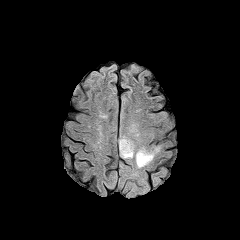
FLAIR MR.
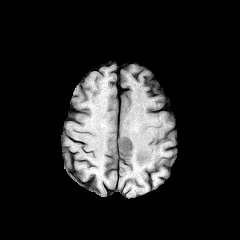
Same slice, T1-weighted MR image.
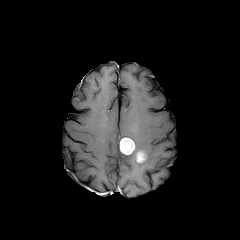
Post-contrast T1-weighted MR.
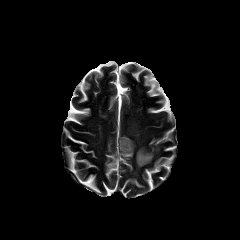
T2-weighted MRI of the same slice.
Head. Axial slice.
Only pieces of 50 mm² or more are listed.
Findings:
* peritumoral edema: [120, 146, 160, 168]
* enhancing tumor: [136, 151, 146, 162], [120, 137, 134, 154]